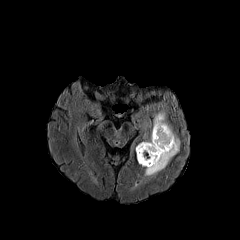
FLAIR MR.
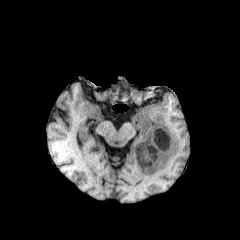
T1-weighted magnetic resonance.
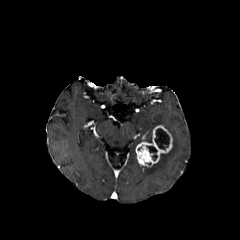
Post-contrast T1-weighted MR image.
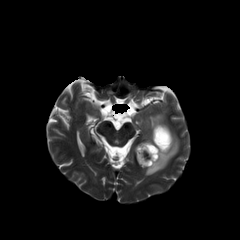
T2-weighted MR.
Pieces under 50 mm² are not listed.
<segmentation>
  <peritumoral_edema>bbox(144, 111, 180, 178); bbox(133, 179, 141, 187)</peritumoral_edema>
  <enhancing_tumor>bbox(135, 125, 172, 167)</enhancing_tumor>
  <necrotic_tumor_core>bbox(146, 145, 157, 160); bbox(154, 128, 169, 150)</necrotic_tumor_core>
</segmentation>